FLAIR MR image.
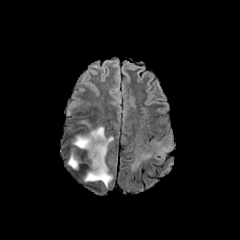
T1-weighted MR image.
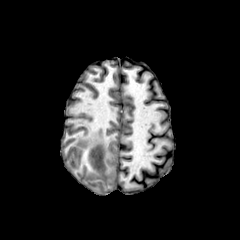
Post-contrast T1-weighted MR.
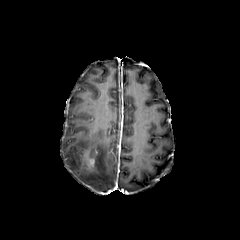
T2-weighted MR.
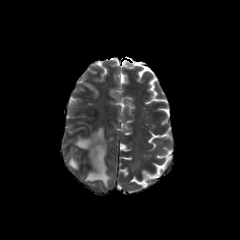
Axial slice; Brain
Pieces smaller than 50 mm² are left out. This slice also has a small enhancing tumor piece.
peritumoral edema: (left=71, top=126, right=113, bottom=187), (left=68, top=154, right=78, bottom=169)